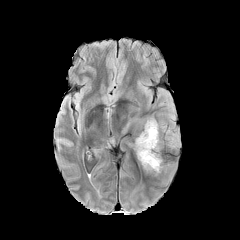
FLAIR MR.
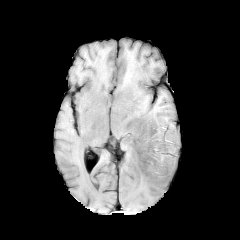
T1-weighted MRI.
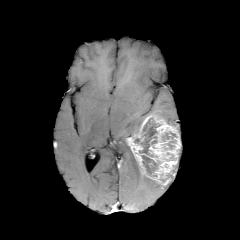
Post-contrast T1-weighted MR image of the same slice.
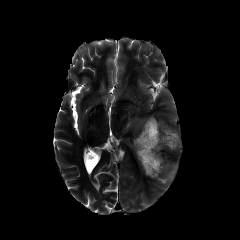
Same slice, T2-weighted MR.
Axial slice
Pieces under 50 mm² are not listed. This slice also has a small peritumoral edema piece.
enhancing_tumor:
  - bbox(128, 116, 180, 184)
necrotic_tumor_core:
  - bbox(162, 132, 176, 140)
  - bbox(142, 155, 157, 176)
  - bbox(139, 118, 158, 154)